Brain
FLAIR magnetic resonance.
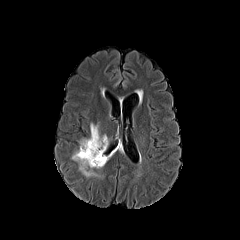
T1-weighted magnetic resonance.
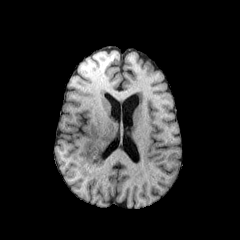
Post-contrast T1-weighted MR image.
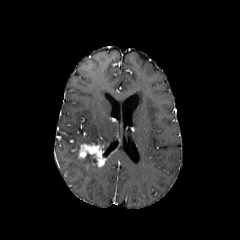
T2-weighted magnetic resonance.
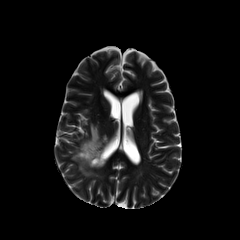
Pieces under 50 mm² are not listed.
{"enhancing_tumor": ["(78, 143, 106, 167)"], "peritumoral_edema": ["(71, 123, 108, 176)"]}